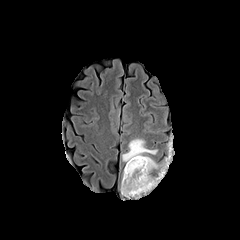
FLAIR MR image.
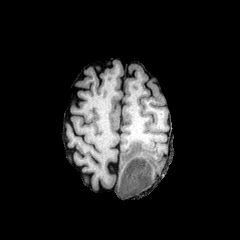
T1-weighted magnetic resonance of the same slice.
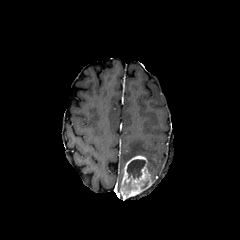
Post-contrast T1-weighted MRI.
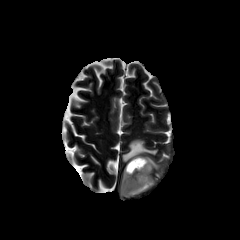
Same slice, T2-weighted magnetic resonance.
Axial slice
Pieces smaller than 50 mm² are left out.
enhancing tumor: bounding box box=[120, 155, 154, 198]
peritumoral edema: bounding box box=[122, 138, 159, 170]
necrotic tumor core: bounding box box=[127, 159, 145, 178]